FLAIR magnetic resonance.
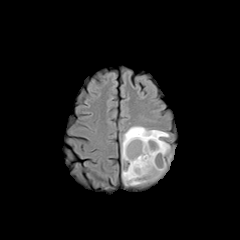
T1-weighted MR.
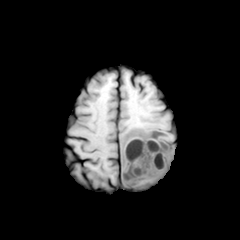
Post-contrast T1-weighted MR.
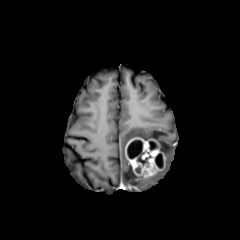
T2-weighted MRI.
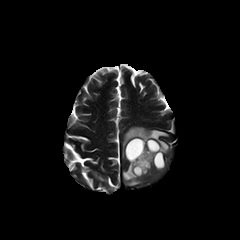
Brain | Axial plane
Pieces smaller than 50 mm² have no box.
The 3 largest necrotic tumor core regions are bounded by l=155, t=154, r=162, b=167; l=127, t=139, r=151, b=167; l=149, t=142, r=157, b=150. The enhancing tumor lies within l=125, t=138, r=164, b=176. 2 peritumoral edema regions are bounded by l=122, t=158, r=166, b=185; l=122, t=126, r=171, b=162.